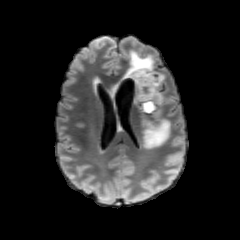
FLAIR MRI.
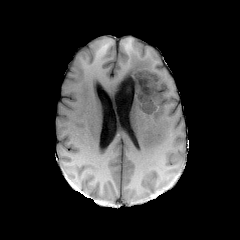
T1-weighted MRI.
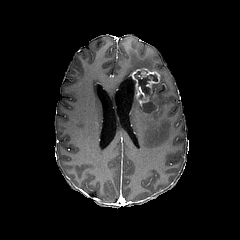
Post-contrast T1-weighted MR image.
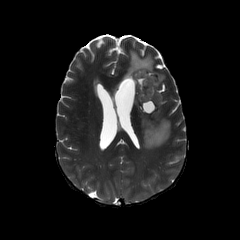
Same slice, T2-weighted MR.
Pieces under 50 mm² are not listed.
Segmented structures:
• necrotic tumor core: (134, 71, 157, 112)
• peritumoral edema: (112, 50, 154, 92), (143, 119, 170, 148), (153, 73, 164, 104)
• enhancing tumor: (128, 68, 160, 107)